FLAIR MRI.
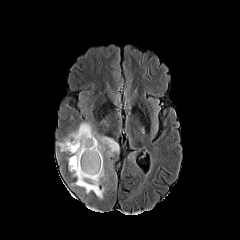
T1-weighted MR image.
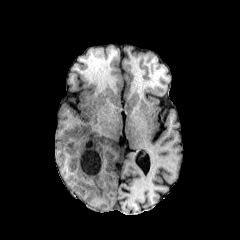
Post-contrast T1-weighted MR.
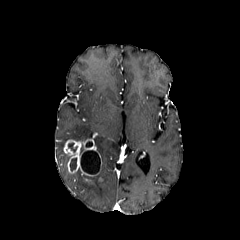
T2-weighted magnetic resonance.
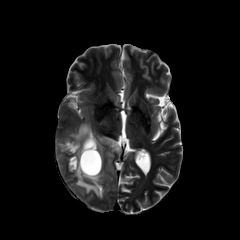
Axial plane
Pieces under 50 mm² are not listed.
peritumoral edema = l=71, t=136, r=119, b=199; l=69, t=122, r=92, b=140
enhancing tumor = l=63, t=136, r=101, b=176
necrotic tumor core = l=68, t=143, r=77, b=152; l=80, t=150, r=100, b=174; l=70, t=158, r=76, b=170